240x240 | Slice 83 of 155 | Head
FLAIR MR image.
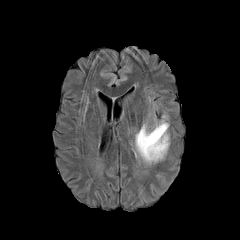
T1-weighted MRI.
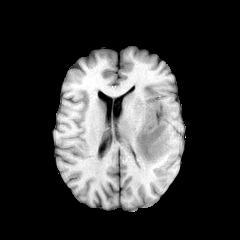
Post-contrast T1-weighted MR.
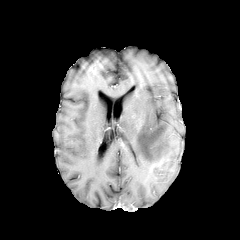
T2-weighted MR.
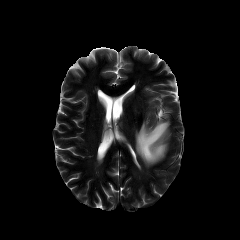
The peritumoral edema appears at (135,115,169,164).